240x240 px, Axial view, Brain
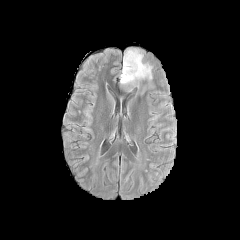
FLAIR MR.
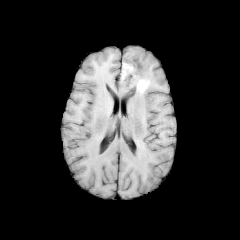
T1-weighted MR.
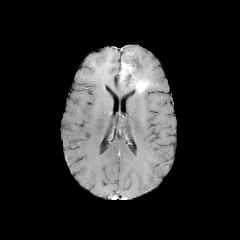
Post-contrast T1-weighted MR.
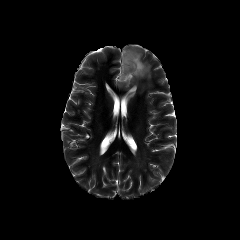
T2-weighted MR image.
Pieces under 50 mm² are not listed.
{"peritumoral_edema": ["<box>120,82,134,91</box>", "<box>126,48,152,80</box>"], "necrotic_tumor_core": ["<box>121,51,138,84</box>"], "enhancing_tumor": ["<box>120,62,134,81</box>", "<box>132,75,146,90</box>"]}